Head; Image width 240 mm
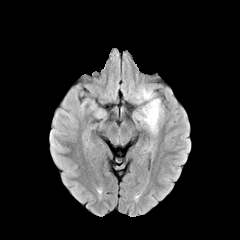
FLAIR MR image.
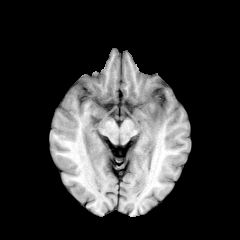
T1-weighted MRI.
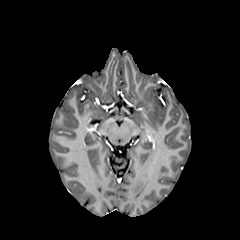
Post-contrast T1-weighted MR image.
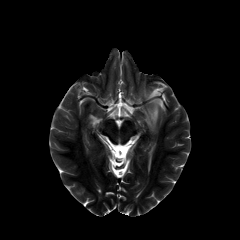
T2-weighted magnetic resonance.
Findings:
• peritumoral edema: rect(136, 88, 162, 133)